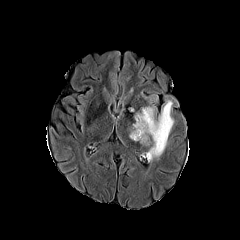
FLAIR MR.
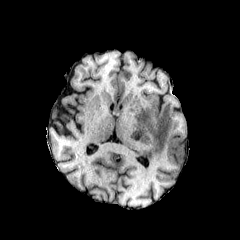
T1-weighted magnetic resonance.
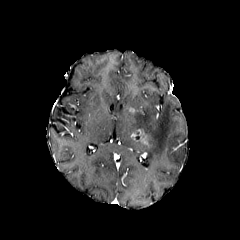
Post-contrast T1-weighted MR of the same slice.
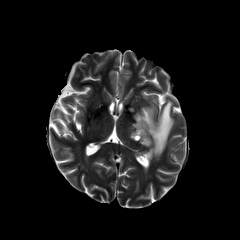
T2-weighted MR image of the same slice.
Brain
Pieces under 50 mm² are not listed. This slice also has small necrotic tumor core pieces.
peritumoral_edema:
  - 133,100,173,162
enhancing_tumor:
  - 130,128,149,146